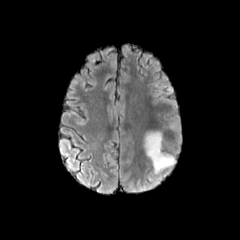
FLAIR MRI.
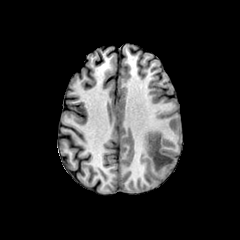
T1-weighted MR image.
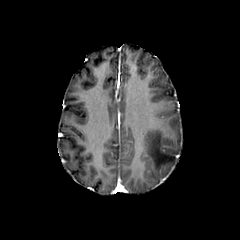
Post-contrast T1-weighted magnetic resonance.
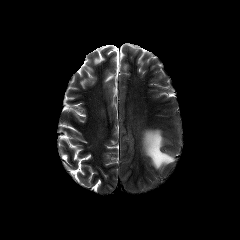
T2-weighted magnetic resonance of the same slice.
Axial slice. Head.
The peritumoral edema is located at <box>144,132,174,171</box>.